Image size 240x240. Image covers 240 mm x 240 mm. Head.
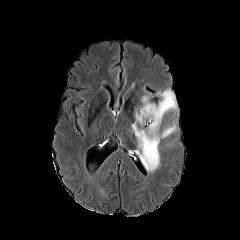
FLAIR MR image.
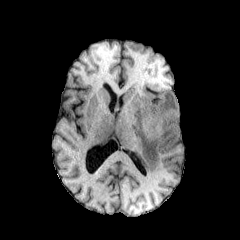
T1-weighted MRI.
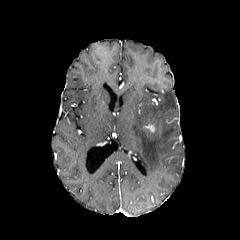
Post-contrast T1-weighted magnetic resonance.
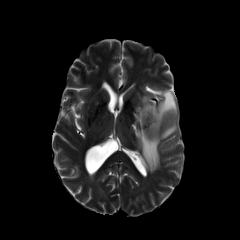
T2-weighted MR image.
peritumoral edema: (left=132, top=89, right=177, bottom=172) | enhancing tumor: (left=147, top=124, right=155, bottom=132)